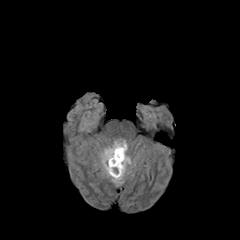
FLAIR MR.
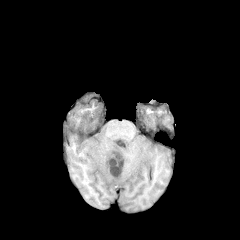
T1-weighted MR.
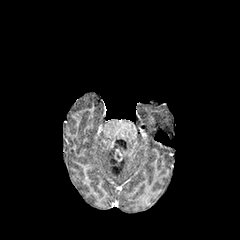
Post-contrast T1-weighted MR.
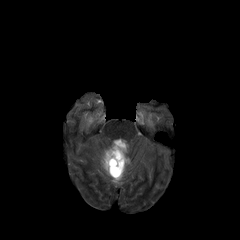
Same slice, T2-weighted magnetic resonance.
Axial slice, Head, Image size 240x240
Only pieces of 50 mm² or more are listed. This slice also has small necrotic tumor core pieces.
Segmented structures:
• enhancing tumor: 109, 149, 122, 175
• peritumoral edema: 101, 140, 131, 184